FLAIR MR.
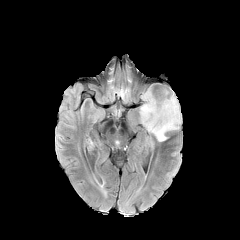
T1-weighted MR.
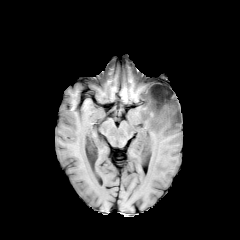
Post-contrast T1-weighted MR.
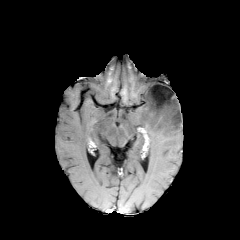
T2-weighted MR image.
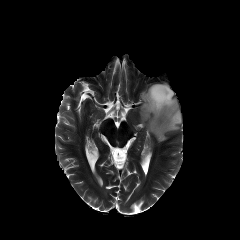
Axial slice | 240x240 | Brain
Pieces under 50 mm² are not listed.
* necrotic tumor core: x1=147, y1=84, x2=175, y2=115
* peritumoral edema: x1=139, y1=85, x2=181, y2=141